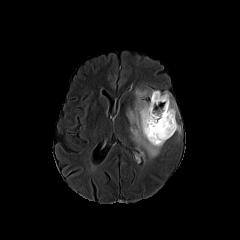
FLAIR MR.
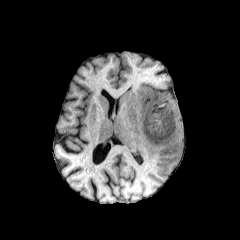
Same slice, T1-weighted MR.
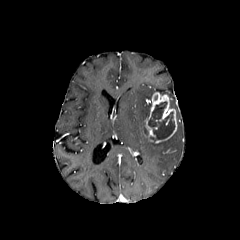
Post-contrast T1-weighted MRI of the same slice.
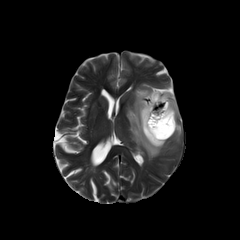
T2-weighted MR.
Brain
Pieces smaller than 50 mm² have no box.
enhancing tumor: [x1=144, y1=92, x2=177, y2=143] | necrotic tumor core: [x1=148, y1=101, x2=174, y2=140] | peritumoral edema: [x1=127, y1=88, x2=165, y2=158], [x1=162, y1=92, x2=178, y2=116]